Brain; Slice index 111; Image size 240x240
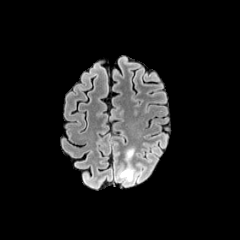
FLAIR MR image.
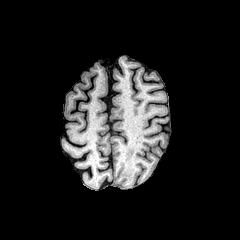
T1-weighted MRI of the same slice.
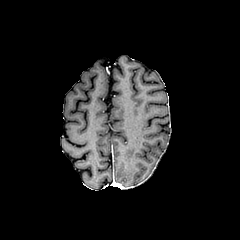
Post-contrast T1-weighted MR.
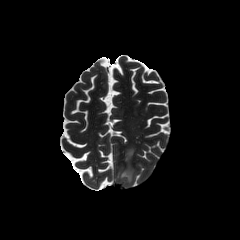
Same slice, T2-weighted MRI.
{
  "peritumoral_edema": [
    "bbox=[126, 149, 133, 160]",
    "bbox=[119, 166, 134, 182]"
  ]
}